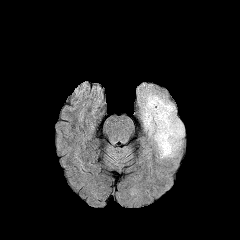
FLAIR magnetic resonance.
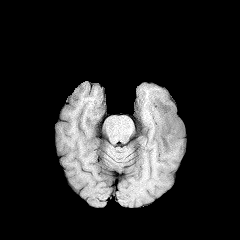
T1-weighted MRI of the same slice.
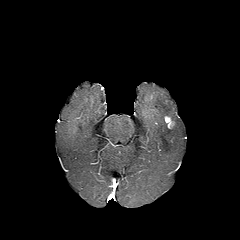
Post-contrast T1-weighted magnetic resonance.
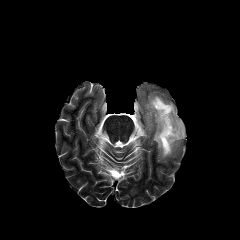
T2-weighted magnetic resonance.
240x240
The peritumoral edema is bounded by x1=141 y1=92 x2=184 y2=158. The enhancing tumor is located at x1=164 y1=116 x2=174 y2=128.